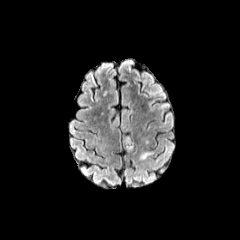
FLAIR magnetic resonance.
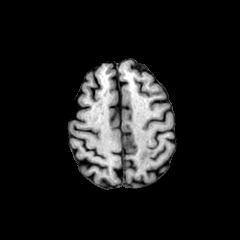
T1-weighted magnetic resonance.
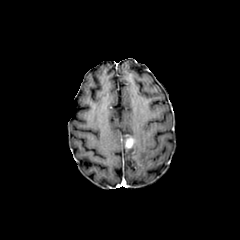
Same slice, post-contrast T1-weighted MRI.
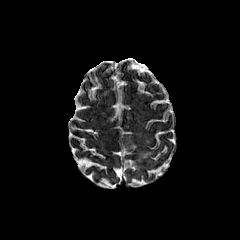
Same slice, T2-weighted MR image.
Brain. Axial view.
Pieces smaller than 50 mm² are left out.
The largest peritumoral edema region lies within left=140, top=152, right=153, bottom=160. The enhancing tumor is located at left=125, top=137, right=133, bottom=148.